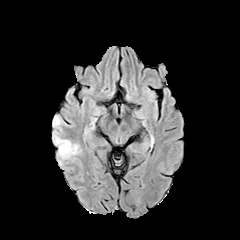
FLAIR MRI.
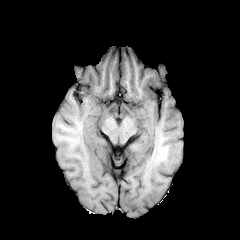
T1-weighted magnetic resonance of the same slice.
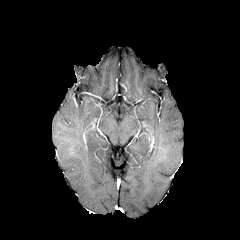
Same slice, post-contrast T1-weighted magnetic resonance.
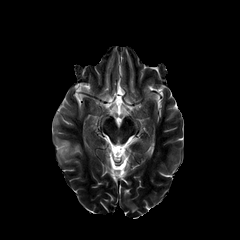
T2-weighted MR image.
Axial slice. Head.
The peritumoral edema is bounded by box=[54, 136, 79, 158].